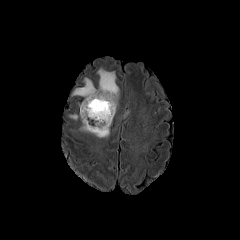
FLAIR MR image.
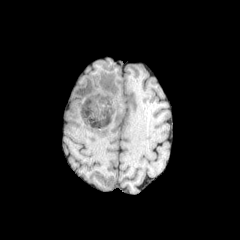
Same slice, T1-weighted MR image.
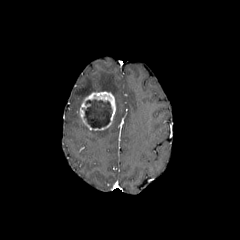
Post-contrast T1-weighted MRI.
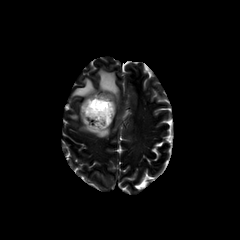
Same slice, T2-weighted magnetic resonance.
Axial view.
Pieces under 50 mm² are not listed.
The 2 largest peritumoral edema regions are bounded by [80,124,109,137], [72,69,119,106]. The necrotic tumor core lies within [84,99,111,128]. The enhancing tumor is located at [79,91,116,130].